Slice 57/155
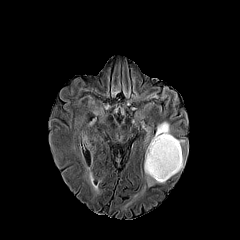
FLAIR MR.
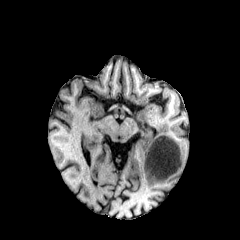
T1-weighted MR image.
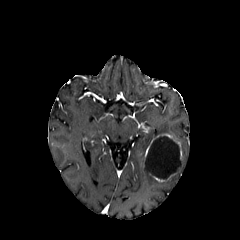
Post-contrast T1-weighted MRI of the same slice.
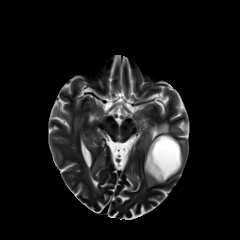
Same slice, T2-weighted MRI.
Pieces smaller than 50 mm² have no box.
peritumoral edema: box=[144, 167, 158, 186]; box=[82, 133, 88, 143]; box=[155, 122, 169, 136] | enhancing tumor: box=[149, 173, 176, 182]; box=[145, 133, 182, 160] | necrotic tumor core: box=[145, 136, 181, 179]